Image width 240 mm, 1.00 mm slice spacing
FLAIR MR.
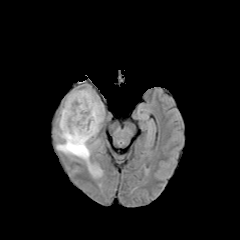
T1-weighted MR image.
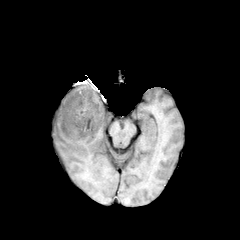
Post-contrast T1-weighted MR.
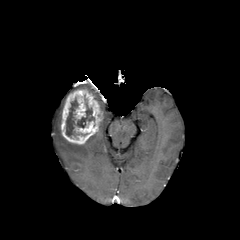
T2-weighted magnetic resonance.
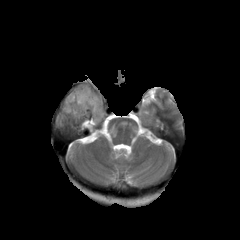
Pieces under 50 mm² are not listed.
The necrotic tumor core is bounded by x1=66 y1=99 x2=94 y2=136. The enhancing tumor is located at x1=61 y1=88 x2=103 y2=144. The 2 largest peritumoral edema regions are bounded by x1=94 y1=95 x2=104 y2=115, x1=58 y1=132 x2=102 y2=176.